Image size 240x240, Axial view, Brain
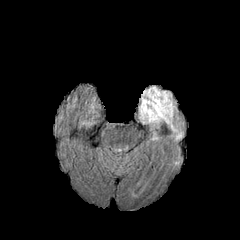
FLAIR MR.
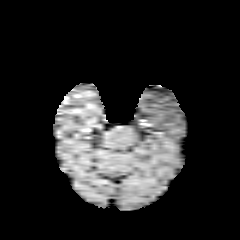
Same slice, T1-weighted MRI.
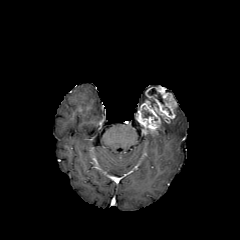
Post-contrast T1-weighted MR image.
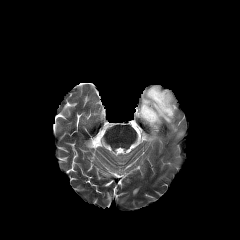
T2-weighted MRI.
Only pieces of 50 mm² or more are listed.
The 2 largest necrotic tumor core regions are bounded by l=142, t=110, r=152, b=117; l=148, t=88, r=164, b=104. The 2 largest peritumoral edema regions are located at l=166, t=119, r=183, b=139; l=141, t=90, r=147, b=102. The enhancing tumor is located at l=138, t=87, r=176, b=136.